Brain
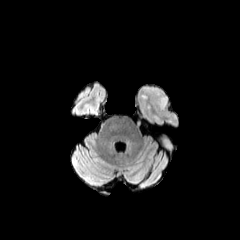
FLAIR MRI.
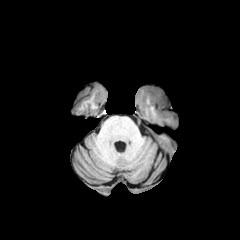
T1-weighted magnetic resonance.
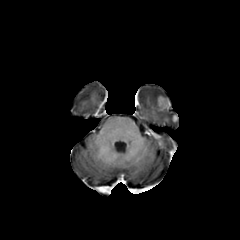
Same slice, post-contrast T1-weighted MR image.
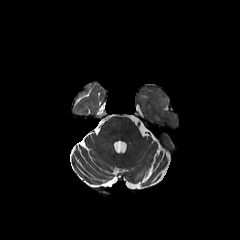
T2-weighted MR.
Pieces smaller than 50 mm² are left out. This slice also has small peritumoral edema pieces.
enhancing tumor: (157, 96, 169, 111)